Axial slice | Slice 79/155 | Brain
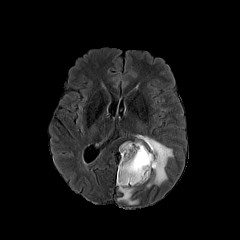
FLAIR MRI.
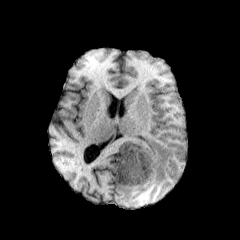
T1-weighted MR image of the same slice.
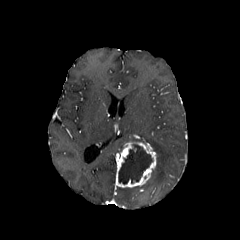
Post-contrast T1-weighted MR image of the same slice.
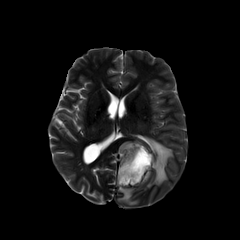
T2-weighted MR image of the same slice.
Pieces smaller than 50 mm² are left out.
The necrotic tumor core appears at x1=118, y1=144, x2=152, y2=184. The 2 largest peritumoral edema regions appear at x1=117, y1=187, x2=137, y2=204; x1=138, y1=135, x2=173, y2=187. The largest enhancing tumor region is at x1=116, y1=141, x2=156, y2=187.